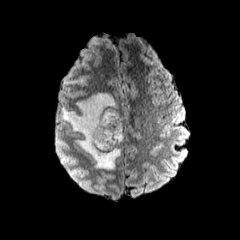
FLAIR MRI.
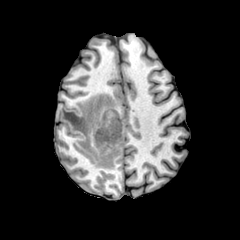
T1-weighted magnetic resonance.
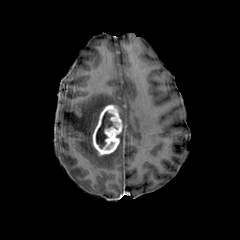
Post-contrast T1-weighted MRI.
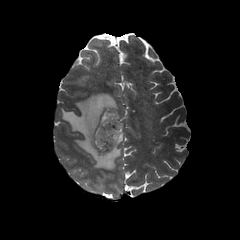
T2-weighted magnetic resonance of the same slice.
Axial plane
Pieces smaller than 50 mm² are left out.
peritumoral edema = <bbox>62, 93, 120, 169</bbox>
necrotic tumor core = <bbox>96, 110, 118, 149</bbox>, <bbox>105, 141, 115, 149</bbox>
enhancing tumor = <bbox>92, 104, 122, 156</bbox>